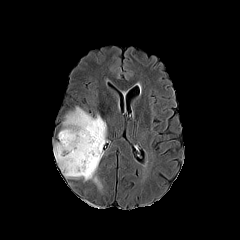
FLAIR MR.
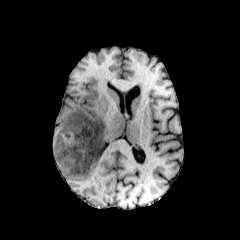
T1-weighted MRI.
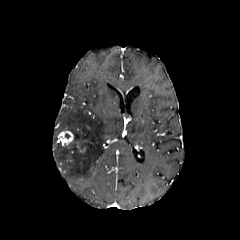
Same slice, post-contrast T1-weighted MR image.
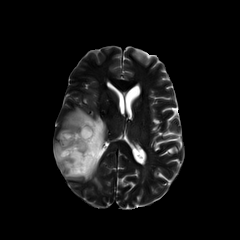
T2-weighted MRI of the same slice.
Head, Axial plane
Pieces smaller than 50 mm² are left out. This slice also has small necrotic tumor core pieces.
<segmentation>
  <peritumoral_edema>l=54, t=107, r=106, b=180</peritumoral_edema>
  <enhancing_tumor>l=76, t=142, r=85, b=152; l=58, t=130, r=73, b=145</enhancing_tumor>
</segmentation>